Axial slice, Slice 80 of 155, Head, Image width 240 mm, 1.00 mm slice spacing
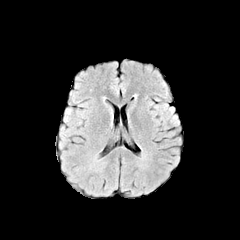
FLAIR MRI.
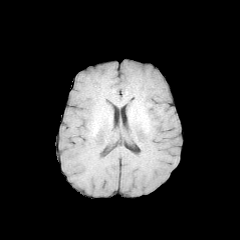
Same slice, T1-weighted MR.
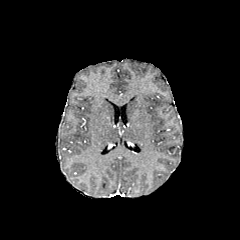
Post-contrast T1-weighted MRI.
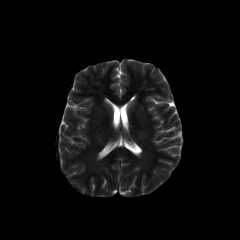
T2-weighted MR image.
The peritumoral edema is bounded by bbox(63, 108, 71, 122).